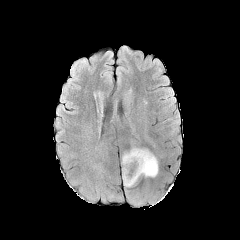
FLAIR MR image.
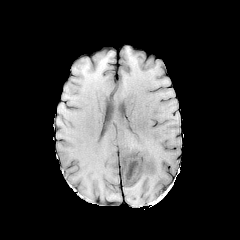
Same slice, T1-weighted MR.
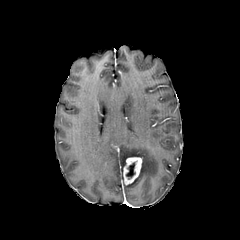
Post-contrast T1-weighted MR of the same slice.
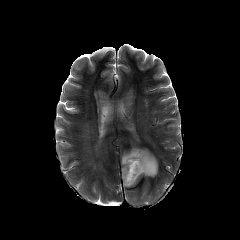
Same slice, T2-weighted MRI.
240x240
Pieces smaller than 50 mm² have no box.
enhancing tumor at 123,157,142,185
necrotic tumor core at 126,162,135,179
peritumoral edema at 121,147,158,187